Slice 47 of 155 | Head | Axial view
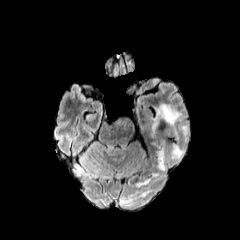
FLAIR MR image.
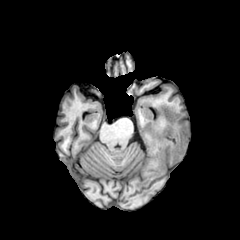
T1-weighted magnetic resonance of the same slice.
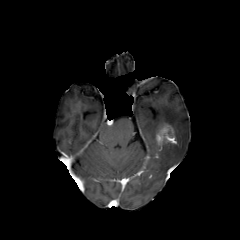
Post-contrast T1-weighted MR.
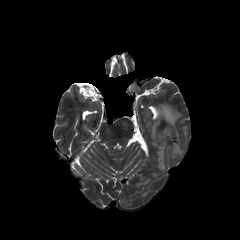
T2-weighted magnetic resonance of the same slice.
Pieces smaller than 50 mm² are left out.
Annotated regions:
• enhancing tumor: (155, 123, 175, 149)
• peritumoral edema: (157, 144, 166, 170), (152, 103, 188, 160)